FLAIR MR.
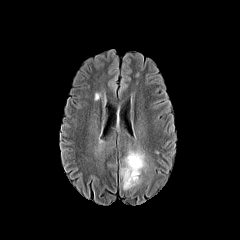
T1-weighted MR image.
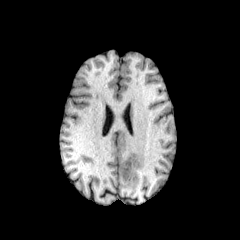
Post-contrast T1-weighted magnetic resonance.
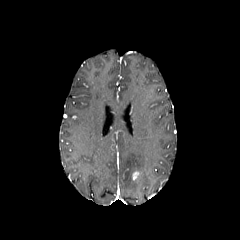
T2-weighted magnetic resonance.
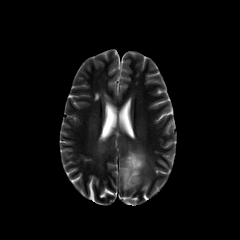
Head; Image size 240x240; Axial slice
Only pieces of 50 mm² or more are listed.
Segmented structures:
• enhancing tumor: rect(132, 171, 139, 180)
• peritumoral edema: rect(120, 150, 146, 190)